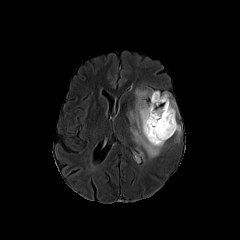
FLAIR MRI.
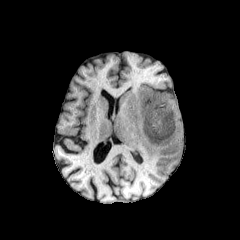
T1-weighted MRI.
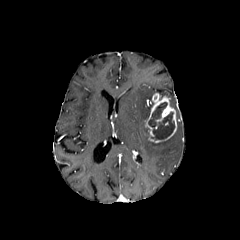
Post-contrast T1-weighted magnetic resonance.
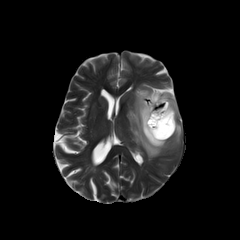
T2-weighted MRI of the same slice.
240x240
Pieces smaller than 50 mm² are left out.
<segmentation>
  <peritumoral_edema>(161, 93, 177, 114), (128, 88, 166, 158), (175, 124, 181, 141)</peritumoral_edema>
  <enhancing_tumor>(144, 92, 177, 143)</enhancing_tumor>
  <necrotic_tumor_core>(148, 102, 174, 139)</necrotic_tumor_core>
</segmentation>